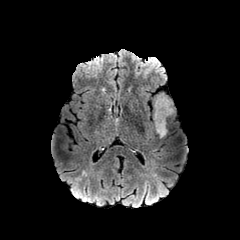
FLAIR magnetic resonance.
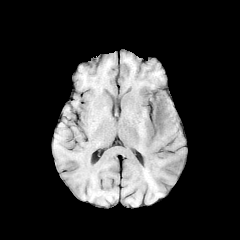
T1-weighted MR image.
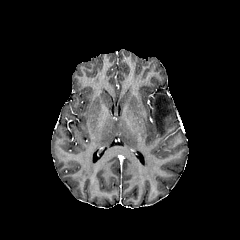
Post-contrast T1-weighted MR image.
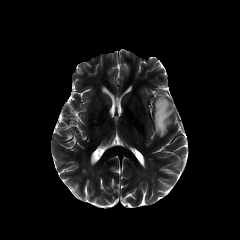
T2-weighted MR image of the same slice.
Axial plane. 240x240. Brain.
The peritumoral edema is at x1=154 y1=94 x2=173 y2=137.